Slice 112 of 155
FLAIR magnetic resonance.
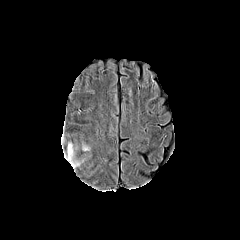
T1-weighted magnetic resonance.
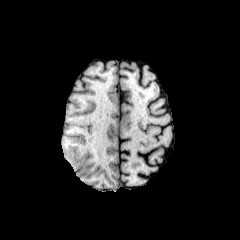
Post-contrast T1-weighted magnetic resonance.
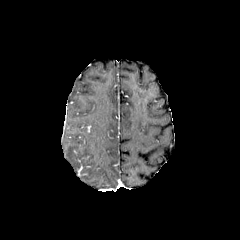
T2-weighted MR image.
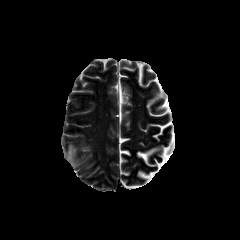
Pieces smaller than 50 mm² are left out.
peritumoral edema — rect(68, 144, 76, 166)